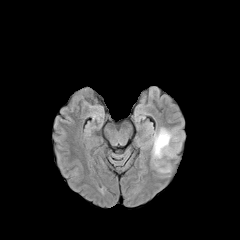
FLAIR MR.
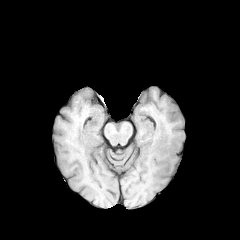
T1-weighted magnetic resonance of the same slice.
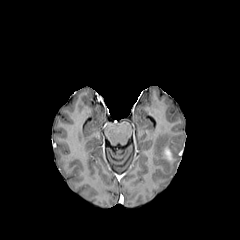
Post-contrast T1-weighted magnetic resonance of the same slice.
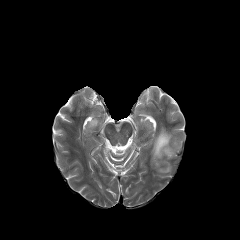
T2-weighted magnetic resonance of the same slice.
Head, Axial slice
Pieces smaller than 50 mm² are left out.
The enhancing tumor is bounded by x1=163 y1=147 x2=172 y2=159. The largest peritumoral edema region is at x1=152 y1=128 x2=179 y2=158.